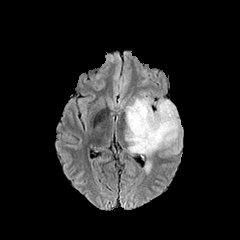
FLAIR MR image.
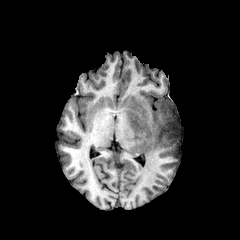
Same slice, T1-weighted MR.
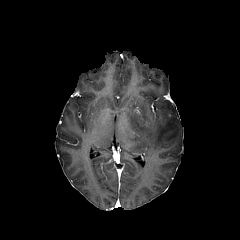
Post-contrast T1-weighted magnetic resonance.
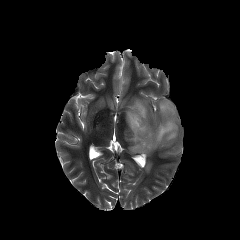
T2-weighted magnetic resonance.
Brain.
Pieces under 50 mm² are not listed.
The largest peritumoral edema region lies within 125,97,180,155.